Axial slice | Image width 240 mm, 1.00 mm slice spacing
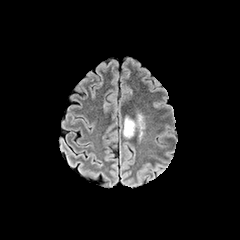
FLAIR MRI.
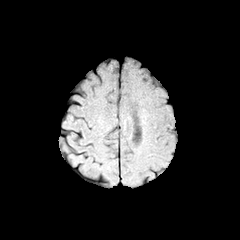
T1-weighted MRI.
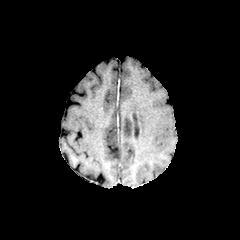
Post-contrast T1-weighted MR.
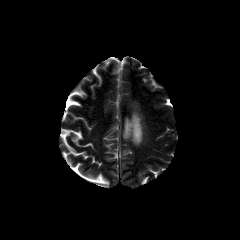
T2-weighted magnetic resonance.
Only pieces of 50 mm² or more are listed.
peritumoral edema: 123,115,144,138